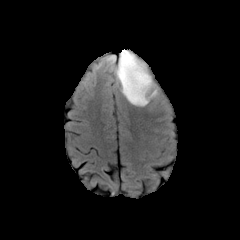
FLAIR MR.
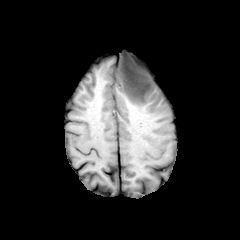
T1-weighted MR image.
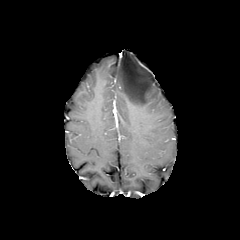
Same slice, post-contrast T1-weighted MR image.
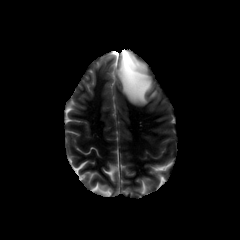
T2-weighted MR image.
Axial slice, Brain
peritumoral edema: <bbox>115, 50, 157, 106</bbox>